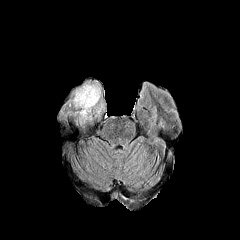
FLAIR magnetic resonance.
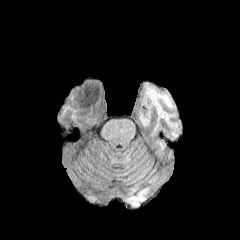
Same slice, T1-weighted MR image.
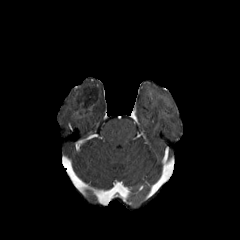
Post-contrast T1-weighted magnetic resonance of the same slice.
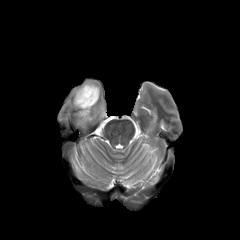
T2-weighted magnetic resonance of the same slice.
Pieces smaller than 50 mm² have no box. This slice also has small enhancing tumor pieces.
Annotated regions:
- peritumoral edema: x1=72 y1=83 x2=103 y2=124
- necrotic tumor core: x1=77 y1=86 x2=97 y2=108